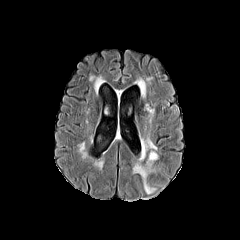
FLAIR MR.
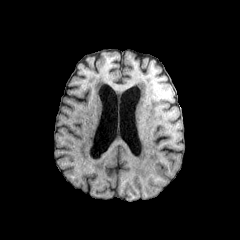
T1-weighted MR image.
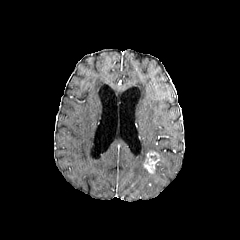
Post-contrast T1-weighted MRI of the same slice.
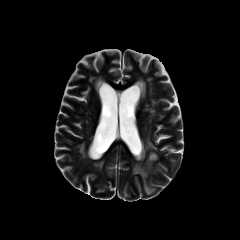
T2-weighted MR image of the same slice.
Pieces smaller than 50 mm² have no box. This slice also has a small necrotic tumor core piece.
The enhancing tumor lies within x1=144, y1=152, x2=158, y2=172. The 2 largest peritumoral edema regions appear at x1=133, y1=163, x2=155, y2=194; x1=144, y1=138, x2=157, y2=151.